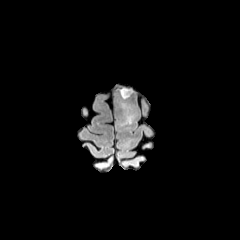
FLAIR MRI.
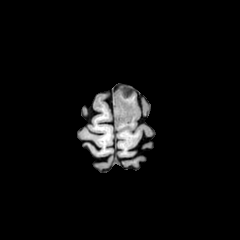
T1-weighted MRI.
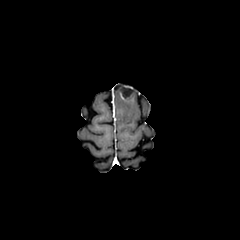
Post-contrast T1-weighted magnetic resonance.
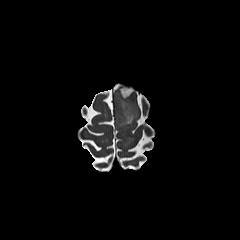
T2-weighted MR image.
Axial slice. Head.
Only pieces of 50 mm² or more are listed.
<segmentation>
  <peritumoral_edema>(left=115, top=92, right=138, bottom=126)</peritumoral_edema>
  <enhancing_tumor>(left=118, top=85, right=133, bottom=99)</enhancing_tumor>
</segmentation>